FLAIR MR image.
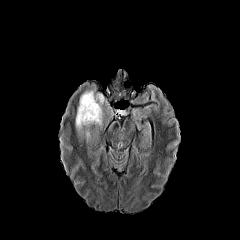
T1-weighted MRI.
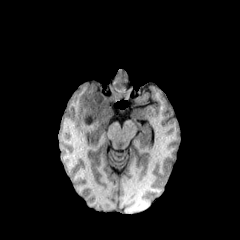
Post-contrast T1-weighted MRI.
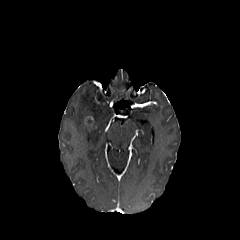
T2-weighted magnetic resonance.
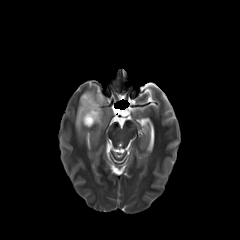
240x240 px. Axial slice. Head.
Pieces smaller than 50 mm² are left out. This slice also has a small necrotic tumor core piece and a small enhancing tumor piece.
The peritumoral edema lies within (left=75, top=91, right=105, bottom=130).